FLAIR magnetic resonance.
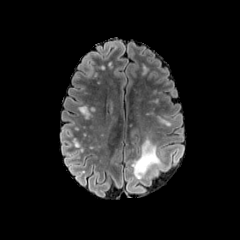
T1-weighted MR.
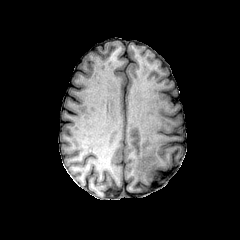
Post-contrast T1-weighted MRI.
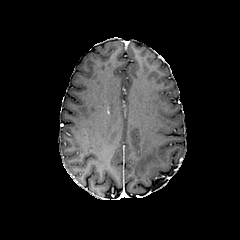
T2-weighted MR.
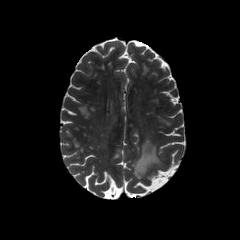
Brain
{
  "peritumoral_edema": [
    "[132, 138, 162, 179]"
  ]
}